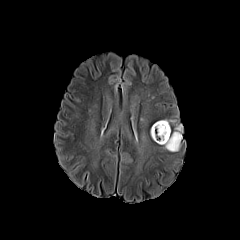
FLAIR MR image.
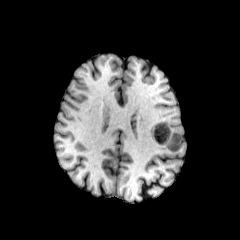
Same slice, T1-weighted magnetic resonance.
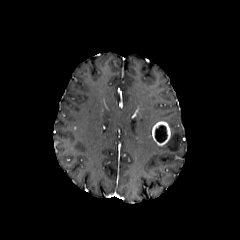
Post-contrast T1-weighted MRI.
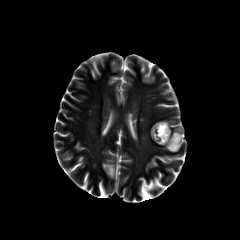
Same slice, T2-weighted MR.
Axial plane, Head, 240x240 px
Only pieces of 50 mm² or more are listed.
necrotic tumor core: bbox(155, 125, 167, 142)
enhancing tumor: bbox(152, 121, 170, 145)
peritumoral edema: bbox(164, 125, 183, 151)